FLAIR magnetic resonance.
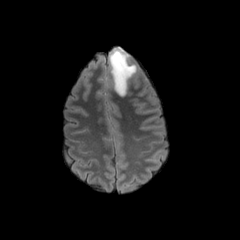
T1-weighted MRI.
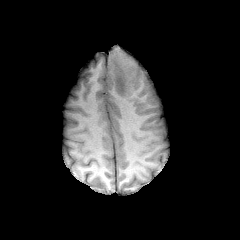
Post-contrast T1-weighted magnetic resonance.
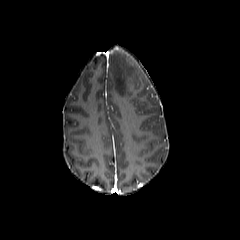
T2-weighted MR image.
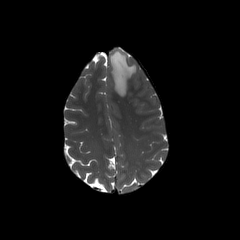
Head
Annotated regions:
• peritumoral edema: bbox=[110, 49, 135, 96]